FLAIR MR.
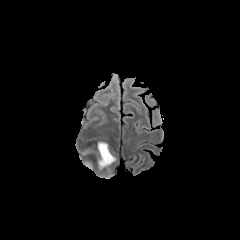
T1-weighted magnetic resonance.
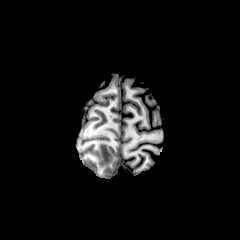
Post-contrast T1-weighted MRI.
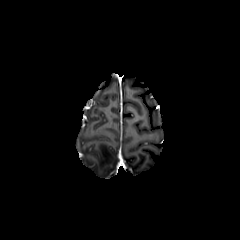
T2-weighted magnetic resonance.
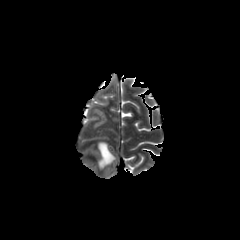
Image size 240x240. Head.
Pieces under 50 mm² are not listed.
Segmented structures:
• peritumoral edema: {"x1": 98, "y1": 142, "x2": 115, "y2": 169}